Axial plane, Brain, Slice 99 of 155
FLAIR magnetic resonance.
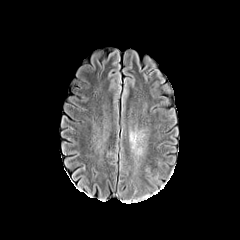
T1-weighted MR image.
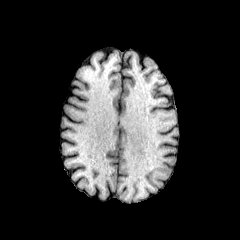
Post-contrast T1-weighted magnetic resonance.
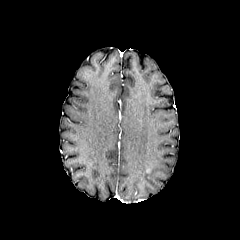
T2-weighted MR.
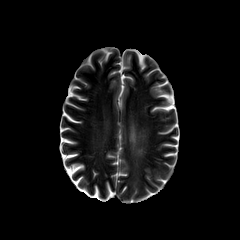
peritumoral edema = region(131, 134, 136, 146)